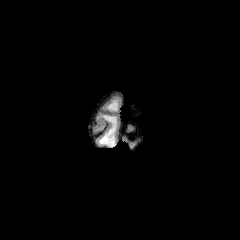
FLAIR MR.
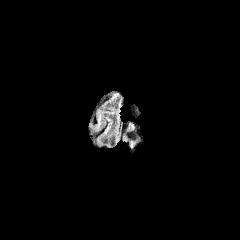
T1-weighted MRI.
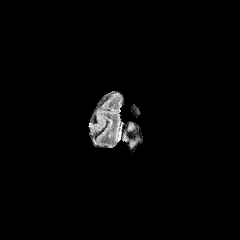
Post-contrast T1-weighted magnetic resonance.
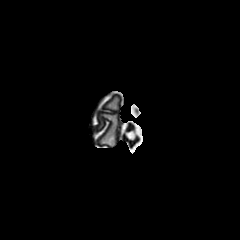
Same slice, T2-weighted MR image.
Axial plane
<segmentation>
  <peritumoral_edema>107, 99, 117, 111; 99, 115, 117, 147</peritumoral_edema>
</segmentation>